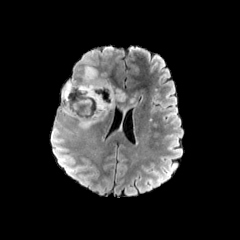
FLAIR MRI.
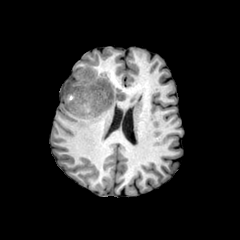
Same slice, T1-weighted MR.
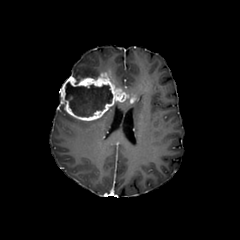
Post-contrast T1-weighted MR.
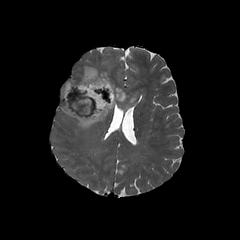
T2-weighted MR.
240x240 px | Axial plane
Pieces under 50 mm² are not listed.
The largest necrotic tumor core region is at (left=65, top=82, right=112, bottom=117). 3 peritumoral edema regions appear at (left=61, top=105, right=113, bottom=130), (left=73, top=64, right=100, bottom=76), (left=131, top=89, right=143, bottom=100). The enhancing tumor is located at (left=60, top=72, right=134, bottom=121).